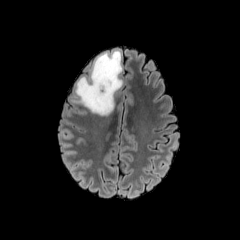
FLAIR MR.
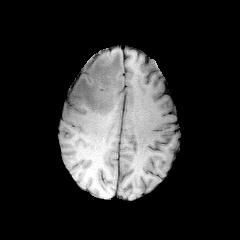
T1-weighted magnetic resonance.
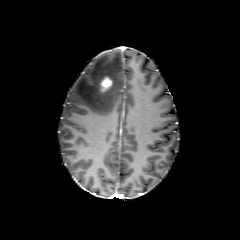
Post-contrast T1-weighted magnetic resonance.
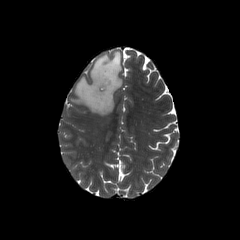
Same slice, T2-weighted MR image.
enhancing_tumor:
  - 100 77 112 91
peritumoral_edema:
  - 70 50 122 115